Slice 77 of 155.
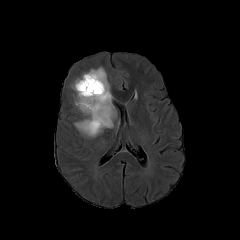
FLAIR MRI.
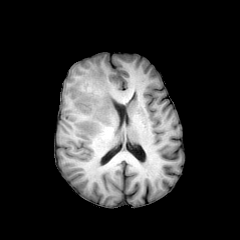
T1-weighted magnetic resonance of the same slice.
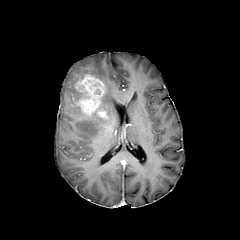
Post-contrast T1-weighted magnetic resonance.
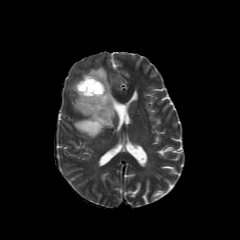
T2-weighted MR.
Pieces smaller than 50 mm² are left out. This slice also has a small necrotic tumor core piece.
The enhancing tumor is at (left=75, top=75, right=107, bottom=119). The peritumoral edema lies within (left=72, top=67, right=115, bottom=137).